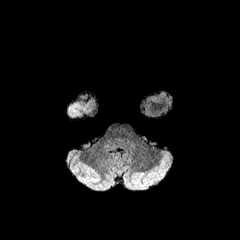
FLAIR magnetic resonance.
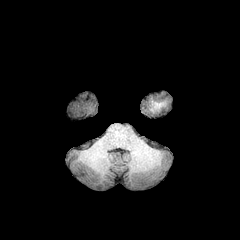
Same slice, T1-weighted magnetic resonance.
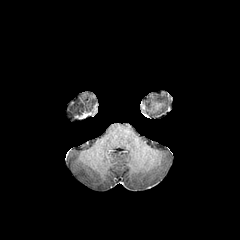
Post-contrast T1-weighted magnetic resonance.
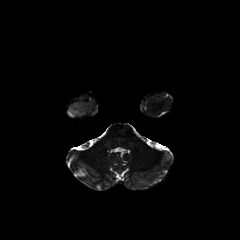
T2-weighted MRI.
Brain. Image size 240x240.
peritumoral edema: bounding box (67,104,80,117)